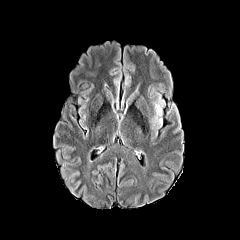
FLAIR MR image.
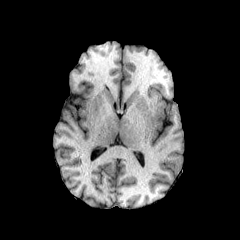
T1-weighted MR of the same slice.
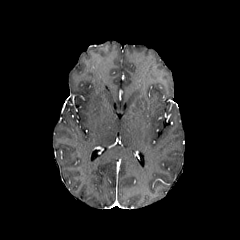
Post-contrast T1-weighted MRI of the same slice.
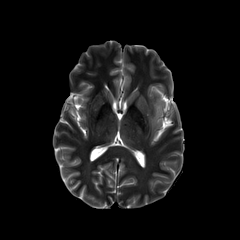
T2-weighted MR.
Axial view. Brain.
Annotated regions:
- peritumoral edema: bbox=[154, 97, 163, 125]